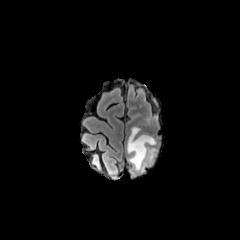
FLAIR MR.
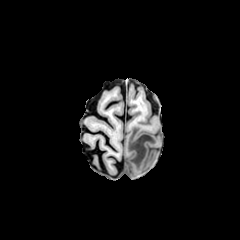
T1-weighted magnetic resonance.
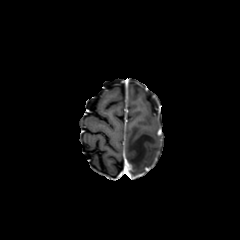
Same slice, post-contrast T1-weighted MRI.
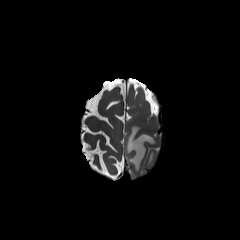
T2-weighted MR image.
peritumoral edema: rect(127, 126, 156, 174)